Image covers 240 mm x 240 mm | Brain
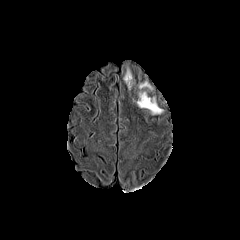
FLAIR MRI.
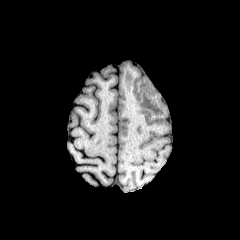
T1-weighted MR of the same slice.
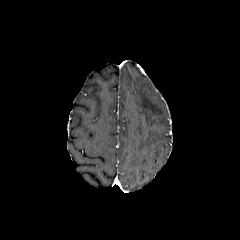
Post-contrast T1-weighted magnetic resonance.
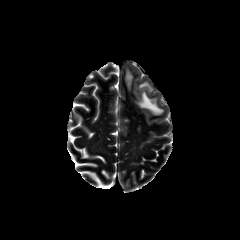
Same slice, T2-weighted magnetic resonance.
peritumoral edema — 125:70:132:88, 137:92:162:114, 139:82:151:89